Slice 69 of 155
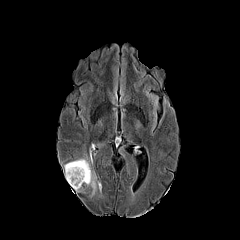
FLAIR MR.
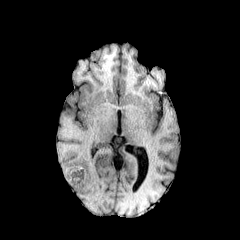
T1-weighted magnetic resonance of the same slice.
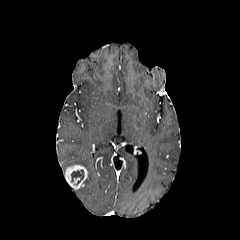
Post-contrast T1-weighted magnetic resonance.
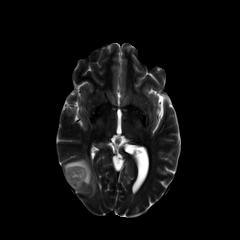
Same slice, T2-weighted MR image.
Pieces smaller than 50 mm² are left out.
enhancing_tumor:
  - 65 165 87 189
necrotic_tumor_core:
  - 71 170 83 185
peritumoral_edema:
  - 64 156 101 196